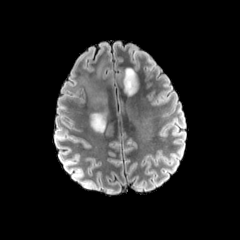
FLAIR MR.
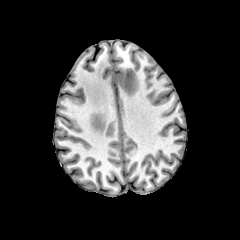
Same slice, T1-weighted magnetic resonance.
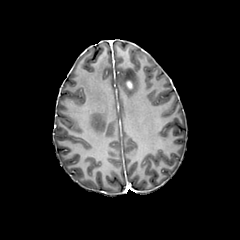
Post-contrast T1-weighted MR image.
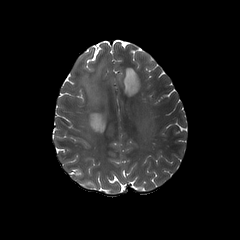
T2-weighted MR of the same slice.
Axial slice
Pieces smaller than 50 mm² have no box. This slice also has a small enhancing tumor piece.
- peritumoral edema: {"x1": 79, "y1": 58, "x2": 109, "y2": 132}, {"x1": 123, "y1": 66, "x2": 139, "y2": 97}